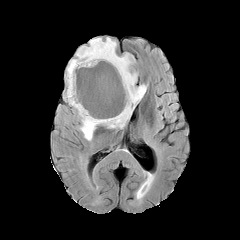
FLAIR MRI.
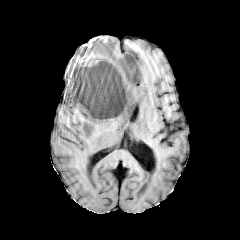
T1-weighted MRI of the same slice.
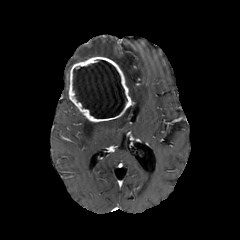
Post-contrast T1-weighted MR image.
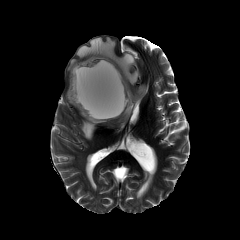
T2-weighted MR.
Brain
* enhancing tumor: (67,56,134,122)
* necrotic tumor core: (73,60,127,118)
* peritumoral edema: (66,37,147,140), (65,88,76,108)